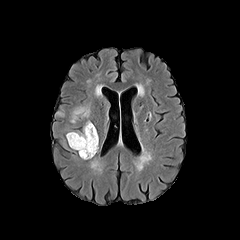
FLAIR MR.
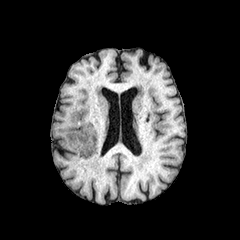
T1-weighted MR of the same slice.
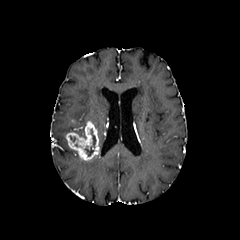
Same slice, post-contrast T1-weighted MRI.
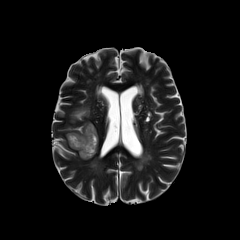
T2-weighted MR of the same slice.
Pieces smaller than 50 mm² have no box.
necrotic tumor core: bbox=[84, 129, 95, 156] | enhancing tumor: bbox=[66, 121, 99, 160] | peritumoral edema: bbox=[71, 106, 89, 122]